Head
FLAIR MRI.
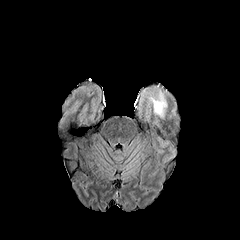
T1-weighted MRI.
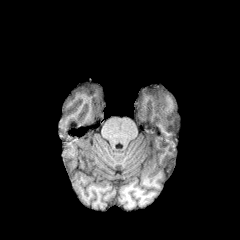
Post-contrast T1-weighted MRI.
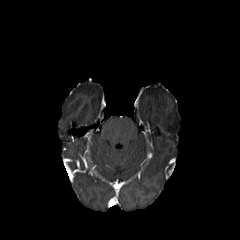
T2-weighted magnetic resonance.
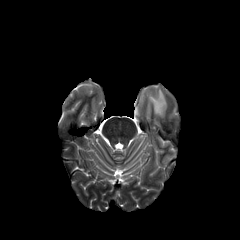
The peritumoral edema appears at 142, 88, 167, 118.